Head. 240x240.
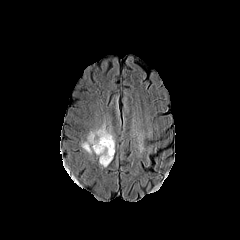
FLAIR MRI.
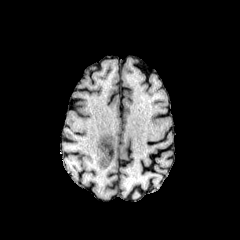
T1-weighted MRI of the same slice.
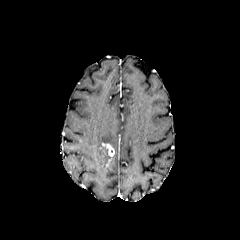
Post-contrast T1-weighted MR image of the same slice.
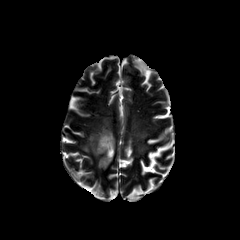
T2-weighted magnetic resonance.
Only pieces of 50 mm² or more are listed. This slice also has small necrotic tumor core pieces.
The largest enhancing tumor region appears at [100, 143, 114, 157]. The peritumoral edema lies within [82, 123, 115, 166].